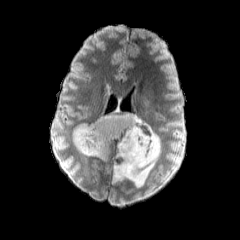
FLAIR MRI.
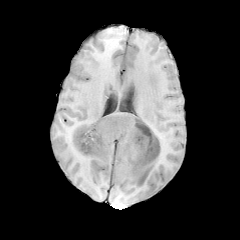
T1-weighted MRI of the same slice.
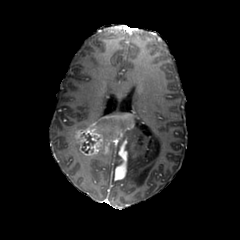
Post-contrast T1-weighted magnetic resonance of the same slice.
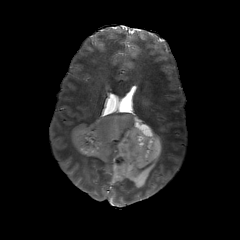
T2-weighted MR image of the same slice.
Axial plane; Head
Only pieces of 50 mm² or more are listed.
necrotic tumor core: x1=98 y1=117 x2=126 y2=127, x1=81 y1=133 x2=94 y2=153 | peritumoral edema: x1=113 y1=117 x2=160 y2=187, x1=72 y1=124 x2=87 y2=138, x1=92 y1=149 x2=112 y2=160, x1=113 y1=108 x2=131 y2=114 | enhancing tumor: x1=73 y1=115 x2=134 y2=180